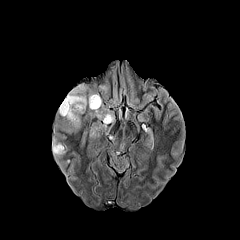
FLAIR MR image.
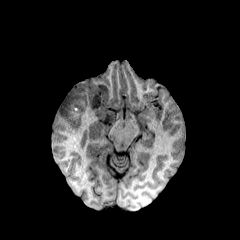
T1-weighted magnetic resonance.
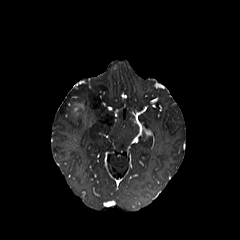
Post-contrast T1-weighted MR.
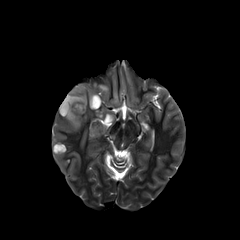
T2-weighted MRI of the same slice.
Brain | 240x240 px
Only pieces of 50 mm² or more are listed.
{
  "enhancing_tumor": [
    "box(71, 102, 84, 116)"
  ],
  "peritumoral_edema": [
    "box(53, 145, 65, 154)",
    "box(89, 93, 114, 123)",
    "box(59, 84, 87, 126)"
  ],
  "necrotic_tumor_core": [
    "box(70, 98, 82, 110)"
  ]
}